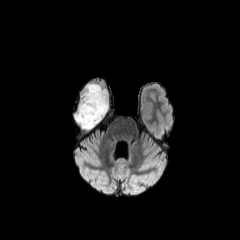
FLAIR magnetic resonance.
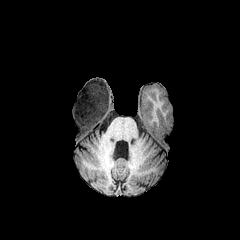
T1-weighted magnetic resonance.
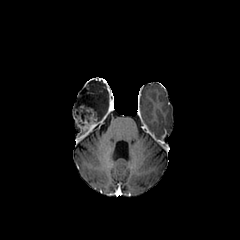
Same slice, post-contrast T1-weighted MR.
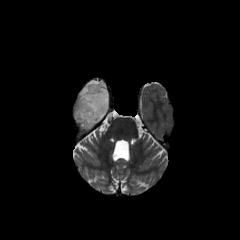
T2-weighted MRI of the same slice.
Head
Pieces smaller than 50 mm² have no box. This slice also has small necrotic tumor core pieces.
<segmentation>
  <peritumoral_edema>box=[77, 82, 108, 122]</peritumoral_edema>
  <enhancing_tumor>box=[74, 104, 98, 136]</enhancing_tumor>
</segmentation>